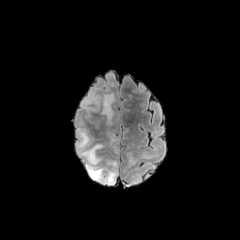
FLAIR MR.
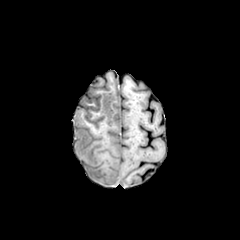
T1-weighted magnetic resonance.
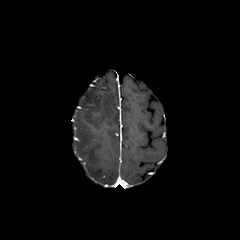
Post-contrast T1-weighted MRI.
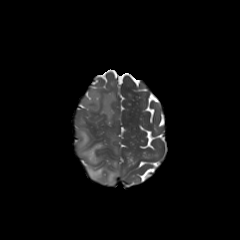
T2-weighted MR.
Head.
{"peritumoral_edema": ["77, 128, 117, 184", "101, 93, 114, 120"]}